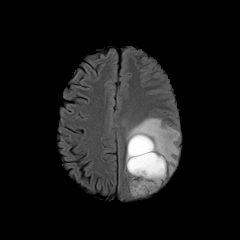
FLAIR MR.
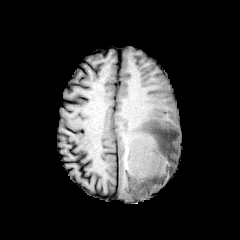
T1-weighted magnetic resonance.
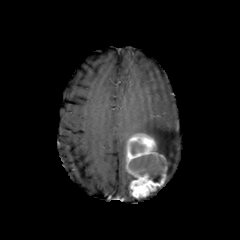
Same slice, post-contrast T1-weighted magnetic resonance.
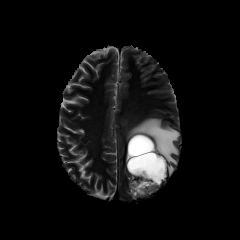
Same slice, T2-weighted MR.
Axial slice. Image size 240x240. Head.
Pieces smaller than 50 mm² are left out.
enhancing_tumor:
  - <box>126,133,167,198</box>
peritumoral_edema:
  - <box>126,117,180,175</box>
necrotic_tumor_core:
  - <box>131,143,143,154</box>
  - <box>129,154,164,182</box>